Slice index 95 | Brain
FLAIR magnetic resonance.
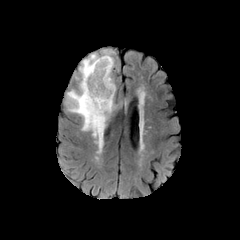
T1-weighted MR.
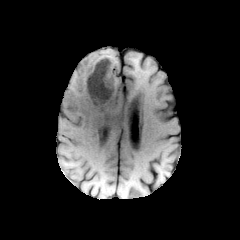
Post-contrast T1-weighted magnetic resonance.
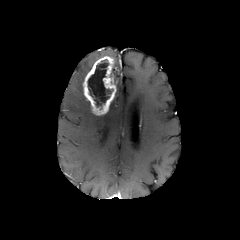
T2-weighted MRI.
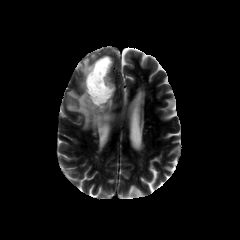
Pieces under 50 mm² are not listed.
enhancing tumor: <bbox>82, 56, 116, 115</bbox>
necrotic tumor core: <bbox>88, 60, 111, 106</bbox>
peritumoral edema: <bbox>65, 49, 116, 152</bbox>